Slice index 119 | Brain
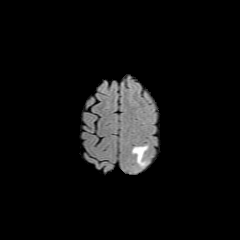
FLAIR magnetic resonance.
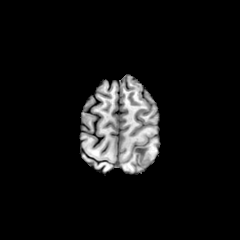
T1-weighted magnetic resonance.
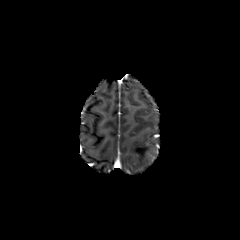
Post-contrast T1-weighted magnetic resonance of the same slice.
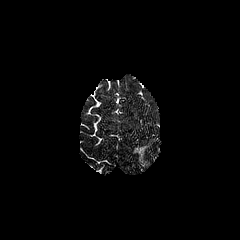
Same slice, T2-weighted MR image.
peritumoral edema: bounding box region(132, 146, 147, 166)